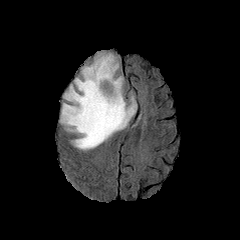
FLAIR MR image.
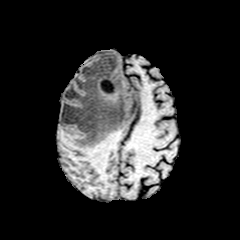
T1-weighted MR.
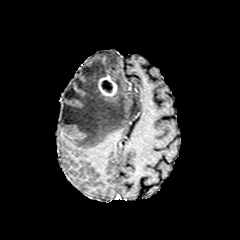
Same slice, post-contrast T1-weighted MR.
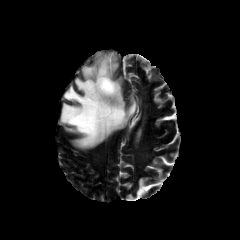
T2-weighted magnetic resonance.
Image size 240x240.
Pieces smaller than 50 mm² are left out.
The necrotic tumor core is at 101 80 112 92. The peritumoral edema is at 60 52 136 150. The largest enhancing tumor region appears at 98 74 117 96.